FLAIR magnetic resonance.
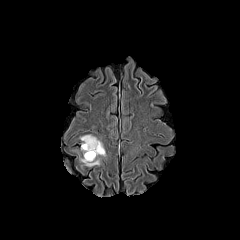
T1-weighted MRI.
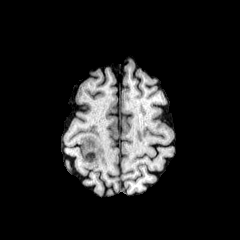
Post-contrast T1-weighted MR image.
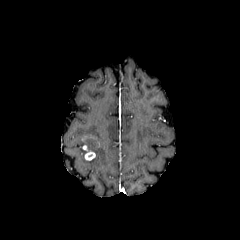
T2-weighted MR.
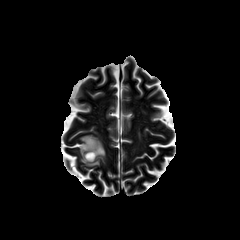
Axial plane.
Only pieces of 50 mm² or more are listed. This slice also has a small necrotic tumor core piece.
enhancing tumor = [x1=84, y1=151, x2=95, y2=160]
peritumoral edema = [x1=80, y1=135, x2=105, y2=166]